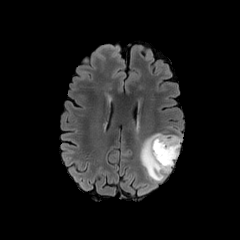
FLAIR MR image.
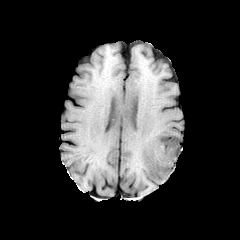
T1-weighted MR image.
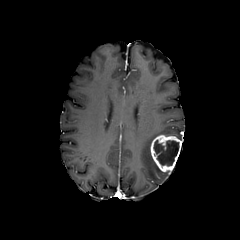
Post-contrast T1-weighted MR image of the same slice.
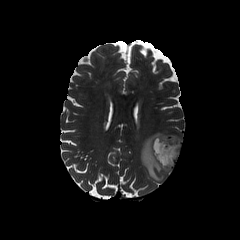
T2-weighted MR.
Image size 240x240.
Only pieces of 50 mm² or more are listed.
enhancing tumor: (left=150, top=135, right=181, bottom=172)
peritumoral edema: (left=140, top=133, right=169, bottom=181)
necrotic tumor core: (left=154, top=140, right=179, bottom=165)